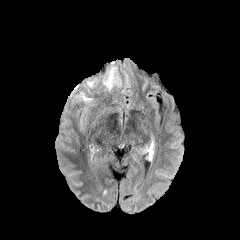
FLAIR magnetic resonance.
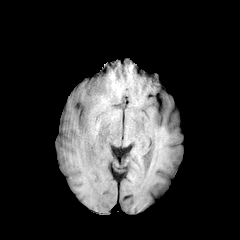
T1-weighted MRI of the same slice.
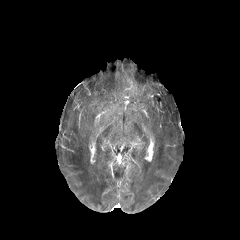
Post-contrast T1-weighted MRI.
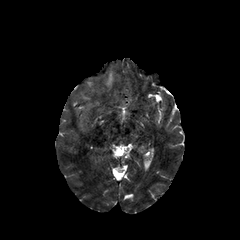
Same slice, T2-weighted magnetic resonance.
Axial view, Brain
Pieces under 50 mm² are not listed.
The 2 largest peritumoral edema regions appear at <box>103,70,114,89</box>, <box>80,92,91,101</box>.